Slice 88/155 | Brain
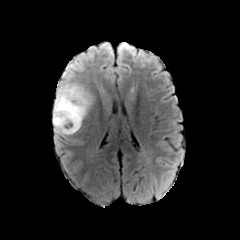
FLAIR magnetic resonance.
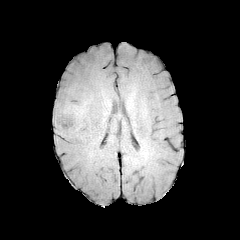
T1-weighted magnetic resonance.
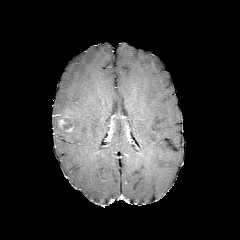
Post-contrast T1-weighted MR of the same slice.
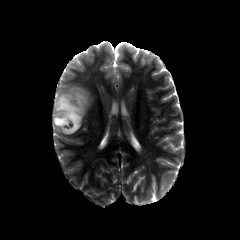
T2-weighted MR.
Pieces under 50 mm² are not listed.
<segmentation>
  <peritumoral_edema>52:80:93:135</peritumoral_edema>
  <necrotic_tumor_core>63:118:72:128</necrotic_tumor_core>
  <enhancing_tumor>58:111:74:132</enhancing_tumor>
</segmentation>